FLAIR magnetic resonance.
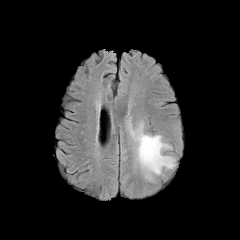
T1-weighted MRI.
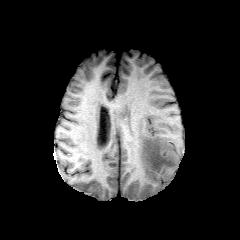
Post-contrast T1-weighted MR image.
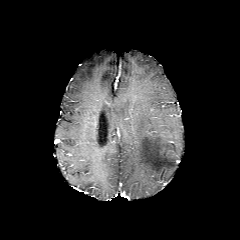
T2-weighted MRI.
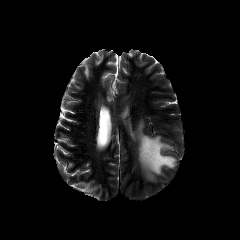
Axial slice, Brain
peritumoral edema: bounding box 130, 122, 175, 180